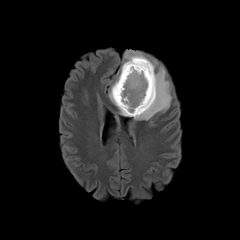
FLAIR MR.
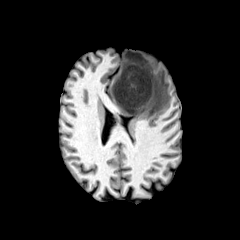
T1-weighted MR of the same slice.
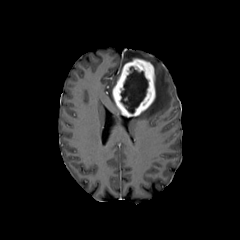
Post-contrast T1-weighted MR.
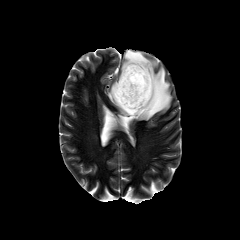
Same slice, T2-weighted MR.
Image size 240x240.
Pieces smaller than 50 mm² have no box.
• enhancing tumor: [112, 58, 155, 116]
• necrotic tumor core: [120, 66, 148, 113]
• peritumoral edema: [109, 82, 115, 105], [121, 50, 157, 71], [134, 67, 171, 120]